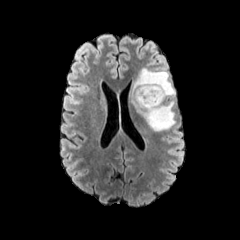
FLAIR MR.
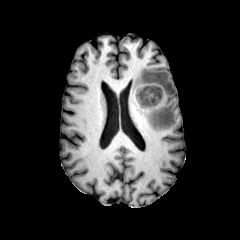
T1-weighted magnetic resonance.
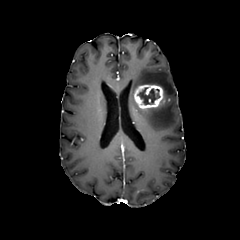
Post-contrast T1-weighted magnetic resonance of the same slice.
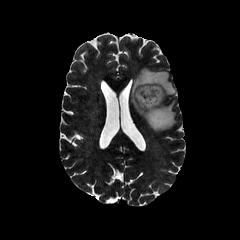
T2-weighted magnetic resonance.
Image size 240x240, Axial view
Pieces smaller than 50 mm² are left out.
{
  "peritumoral_edema": [
    "130:68:175:131"
  ],
  "enhancing_tumor": [
    "134:84:163:108"
  ],
  "necrotic_tumor_core": [
    "136:87:160:105"
  ]
}